FLAIR MR image.
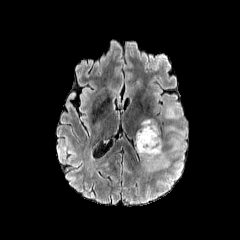
T1-weighted MRI.
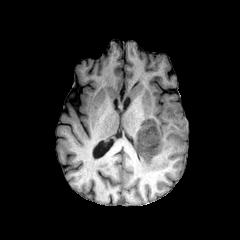
Post-contrast T1-weighted MR image.
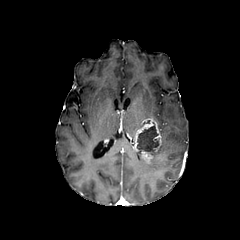
T2-weighted MR image.
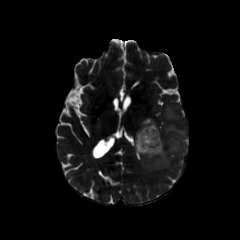
Brain. Axial slice.
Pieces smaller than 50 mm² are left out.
<segmentation>
  <necrotic_tumor_core>rect(137, 122, 158, 153)</necrotic_tumor_core>
  <peritumoral_edema>rect(145, 139, 168, 170); rect(164, 104, 178, 119); rect(165, 125, 185, 151)</peritumoral_edema>
  <enhancing_tumor>rect(134, 118, 161, 162)</enhancing_tumor>
</segmentation>